Image size 240x240; Slice index 97; Axial plane
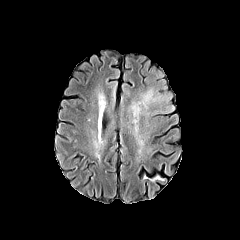
FLAIR MR image.
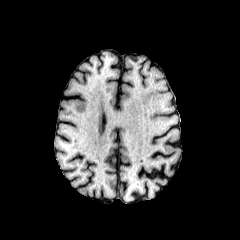
T1-weighted magnetic resonance.
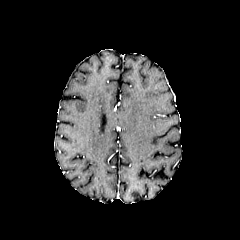
Post-contrast T1-weighted magnetic resonance of the same slice.
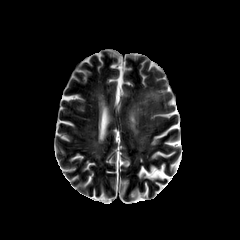
T2-weighted MR.
peritumoral edema at [134, 89, 163, 111]